240x240 px. Head. Axial view.
FLAIR MR.
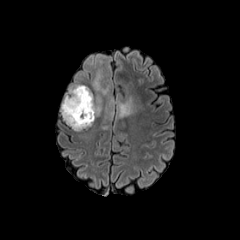
T1-weighted magnetic resonance.
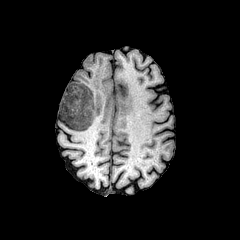
Post-contrast T1-weighted MR image.
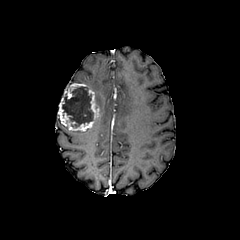
T2-weighted MRI.
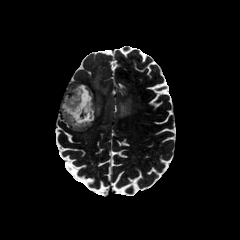
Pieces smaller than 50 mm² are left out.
enhancing tumor: (x1=58, y1=83, x2=99, y2=130) | peritumoral edema: (x1=116, y1=86, x2=142, y2=117), (x1=92, y1=57, x2=113, y2=119) | necrotic tumor core: (x1=62, y1=87, x2=93, y2=127)